FLAIR MR image.
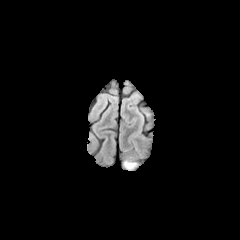
T1-weighted magnetic resonance.
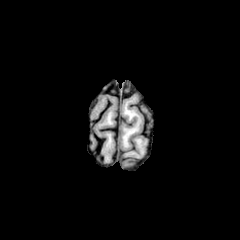
Post-contrast T1-weighted MR.
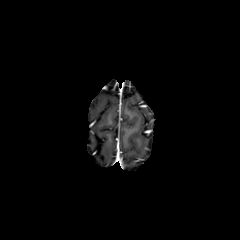
T2-weighted MRI.
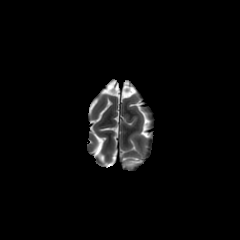
Brain.
peritumoral edema at 125, 162, 136, 169